Head. 240x240 px. Slice 99/155.
FLAIR MR image.
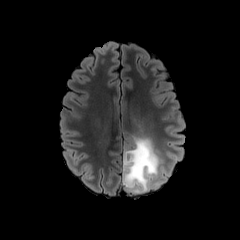
T1-weighted MR.
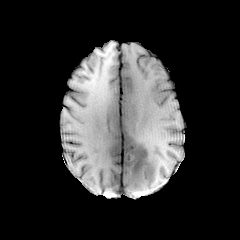
Post-contrast T1-weighted magnetic resonance.
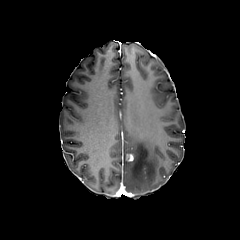
T2-weighted magnetic resonance.
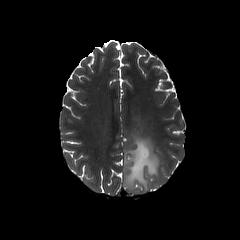
The peritumoral edema appears at box(122, 135, 165, 193). The enhancing tumor is bounded by box(126, 153, 133, 161).